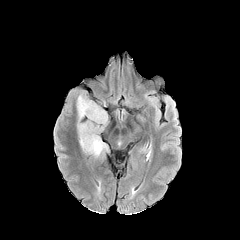
FLAIR MR.
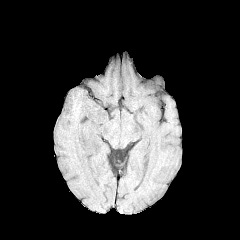
T1-weighted MR.
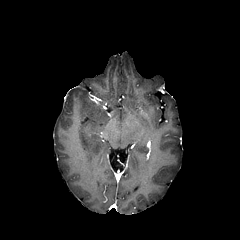
Same slice, post-contrast T1-weighted MR.
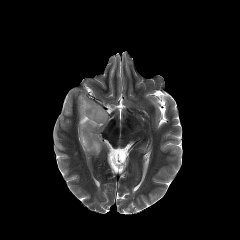
T2-weighted MR.
Axial plane.
* peritumoral edema: (left=77, top=92, right=108, bottom=158)